Image covers 240 mm x 240 mm.
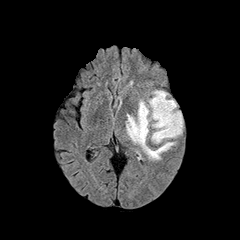
FLAIR MR image.
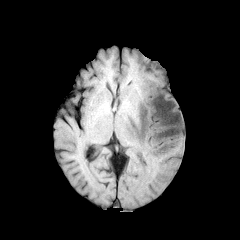
Same slice, T1-weighted MR.
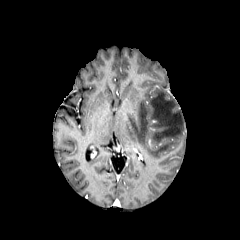
Same slice, post-contrast T1-weighted MR image.
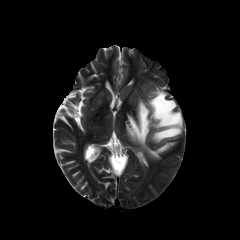
Same slice, T2-weighted magnetic resonance.
The peritumoral edema is bounded by (126, 90, 183, 159).